Axial view
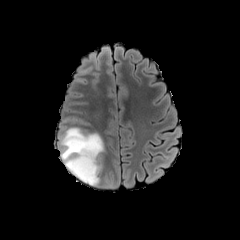
FLAIR magnetic resonance.
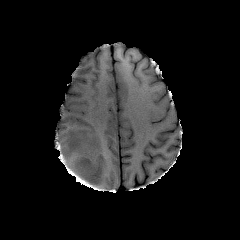
T1-weighted MRI.
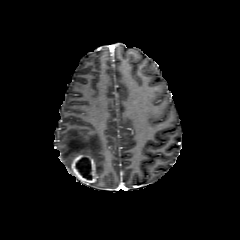
Post-contrast T1-weighted MRI.
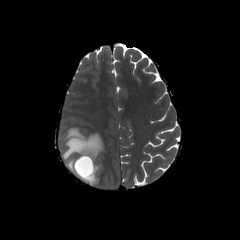
Same slice, T2-weighted MRI.
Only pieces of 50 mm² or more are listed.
peritumoral edema at (59, 127, 104, 173)
necrotic tumor core at (76, 157, 92, 179)
enhancing tumor at (69, 153, 98, 186)